Image width 240 mm. Brain.
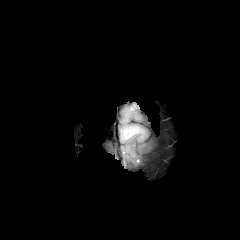
FLAIR magnetic resonance.
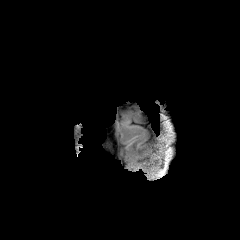
T1-weighted MRI of the same slice.
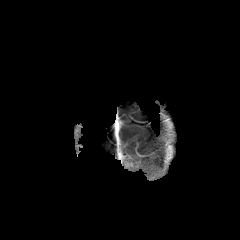
Post-contrast T1-weighted MR image.
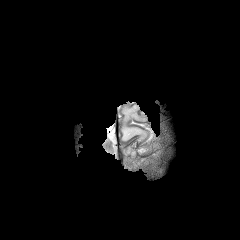
Same slice, T2-weighted MR.
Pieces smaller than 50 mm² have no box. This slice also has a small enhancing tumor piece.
peritumoral edema = box=[122, 127, 143, 140]; box=[125, 107, 137, 120]